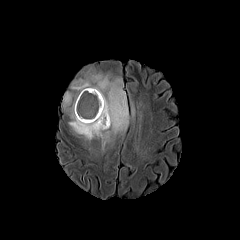
FLAIR MR image.
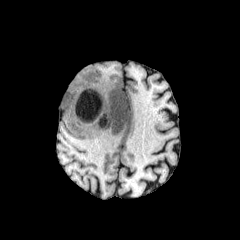
Same slice, T1-weighted MRI.
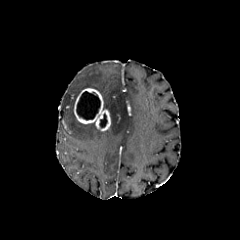
Post-contrast T1-weighted magnetic resonance.
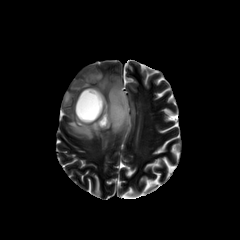
T2-weighted MR.
Head; Axial view
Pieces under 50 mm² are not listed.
peritumoral edema: bounding box left=63, top=65, right=130, bottom=145
necrotic tumor core: bounding box left=99, top=114, right=107, bottom=127; left=76, top=91, right=100, bottom=119
enhancing tumor: bounding box left=74, top=88, right=111, bottom=131